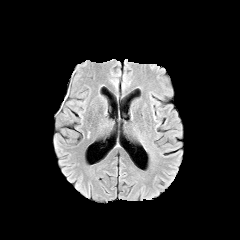
FLAIR MRI.
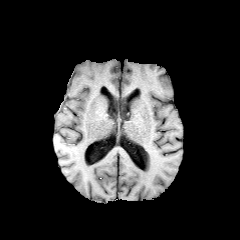
Same slice, T1-weighted MRI.
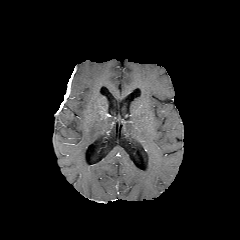
Post-contrast T1-weighted MR.
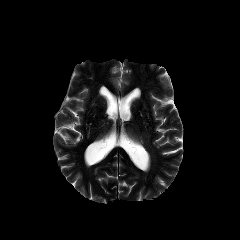
T2-weighted MRI.
Image size 240x240 | Axial plane | Head
<segmentation>
  <enhancing_tumor>l=57, t=70, r=74, b=112</enhancing_tumor>
</segmentation>